Axial slice, Head, 240x240
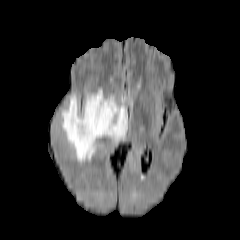
FLAIR MR image.
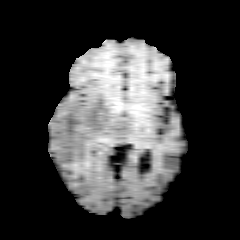
T1-weighted MRI.
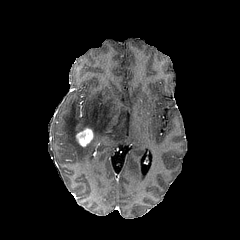
Same slice, post-contrast T1-weighted MRI.
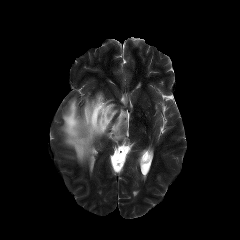
T2-weighted magnetic resonance of the same slice.
The enhancing tumor is located at [x1=75, y1=127, x2=93, y2=147]. The peritumoral edema is located at [x1=61, y1=90, x2=128, y2=162].